FLAIR magnetic resonance.
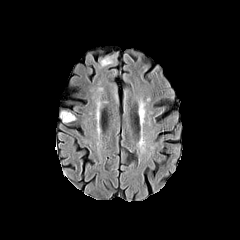
T1-weighted magnetic resonance.
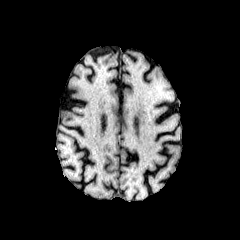
Post-contrast T1-weighted MR.
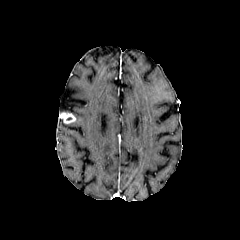
T2-weighted MR.
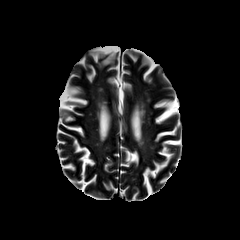
Brain
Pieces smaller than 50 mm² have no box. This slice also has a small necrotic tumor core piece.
The enhancing tumor is bounded by left=59, top=111, right=76, bottom=123.